FLAIR MRI.
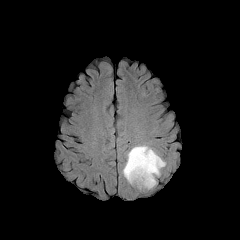
T1-weighted MR image.
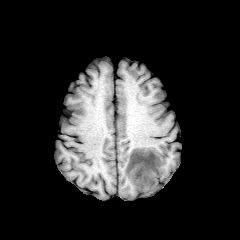
Post-contrast T1-weighted magnetic resonance.
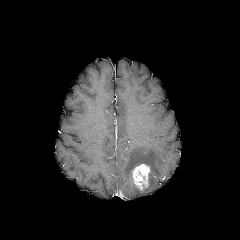
T2-weighted MR image.
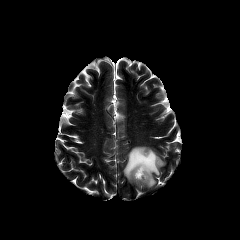
Brain.
peritumoral edema = x1=123 y1=145 x2=165 y2=188
enhancing tumor = x1=132 y1=164 x2=150 y2=189